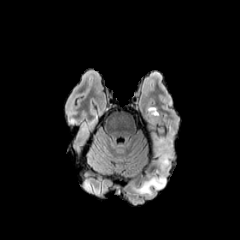
FLAIR MR image.
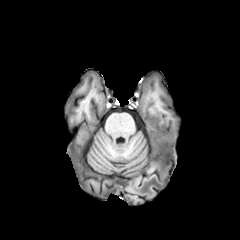
T1-weighted MR.
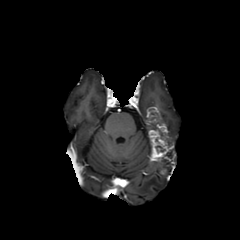
Post-contrast T1-weighted MRI of the same slice.
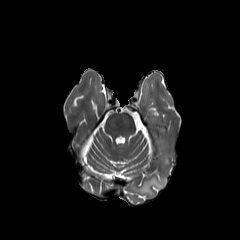
T2-weighted MR.
Axial slice; Head
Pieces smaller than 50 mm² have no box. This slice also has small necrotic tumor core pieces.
enhancing tumor at {"x1": 145, "y1": 107, "x2": 175, "y2": 174}
peritumoral edema at {"x1": 133, "y1": 162, "x2": 171, "y2": 195}, {"x1": 161, "y1": 122, "x2": 175, "y2": 143}